FLAIR MRI.
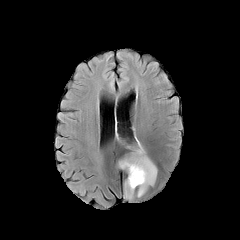
T1-weighted MR image.
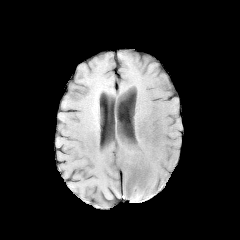
Post-contrast T1-weighted MR image.
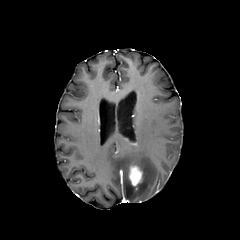
T2-weighted MRI.
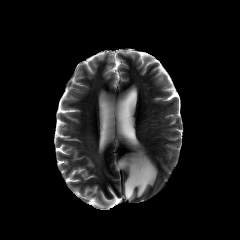
Axial plane. Brain.
enhancing tumor: 129, 165, 142, 185 | peritumoral edema: 117, 139, 157, 200